Slice index 18. 240x240 px.
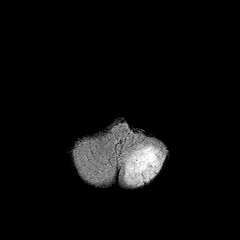
FLAIR magnetic resonance.
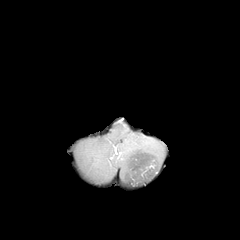
T1-weighted magnetic resonance.
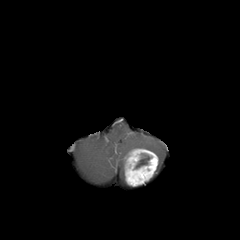
Same slice, post-contrast T1-weighted magnetic resonance.
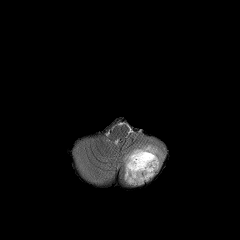
Same slice, T2-weighted MR image.
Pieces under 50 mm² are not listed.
The enhancing tumor is at <bbox>124, 148, 158, 186</bbox>. The peritumoral edema is at <bbox>119, 140, 164, 180</bbox>. The largest necrotic tumor core region is bounded by <bbox>135, 154, 151, 168</bbox>.